FLAIR MRI.
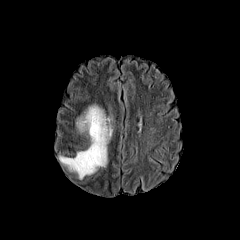
T1-weighted MR image.
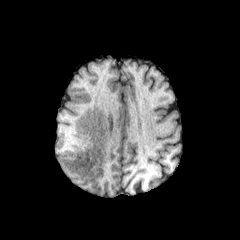
Post-contrast T1-weighted MR.
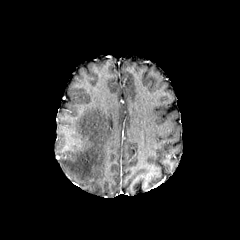
T2-weighted MR image.
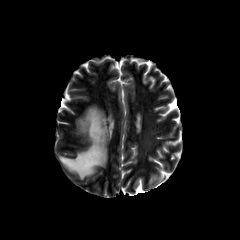
Axial plane
The peritumoral edema appears at {"x1": 58, "y1": 104, "x2": 112, "y2": 179}.